Image covers 240 mm x 240 mm | Brain
FLAIR MR image.
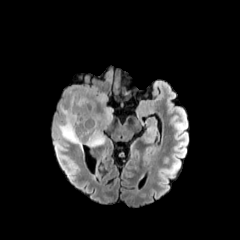
T1-weighted MR.
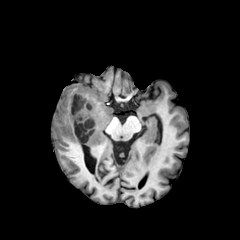
Post-contrast T1-weighted magnetic resonance.
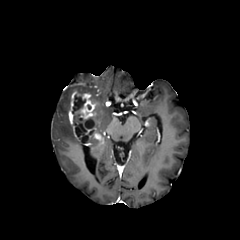
T2-weighted MR.
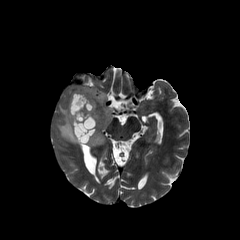
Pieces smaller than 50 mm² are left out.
The largest enhancing tumor region is located at [68,91,103,145]. The 2 largest necrotic tumor core regions are bounded by [73,96,84,112], [75,119,94,142]. The 2 largest peritumoral edema regions appear at [57,105,82,149], [77,88,113,146].